Image width 240 mm, 1.00 mm slice spacing. Slice 103 of 155. Head.
FLAIR MR.
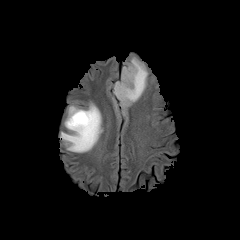
T1-weighted MR.
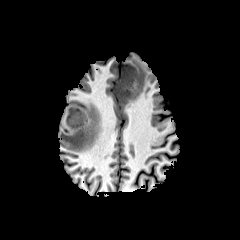
Post-contrast T1-weighted magnetic resonance.
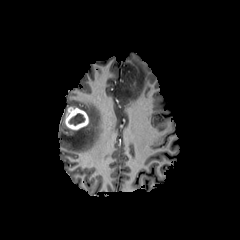
T2-weighted magnetic resonance.
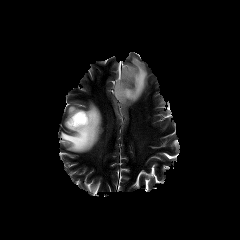
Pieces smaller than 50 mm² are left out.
enhancing tumor at (65, 107, 88, 130)
peritumoral edema at (60, 102, 103, 152), (113, 57, 147, 109)
necrotic tumor core at (69, 113, 84, 125)